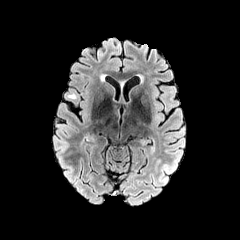
FLAIR MRI.
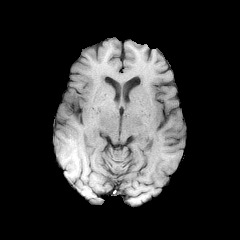
T1-weighted MR image.
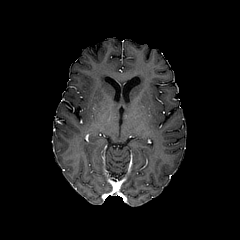
Same slice, post-contrast T1-weighted MR.
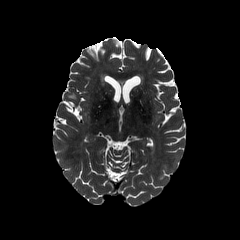
T2-weighted MR.
Brain
peritumoral edema at box(67, 93, 76, 99)